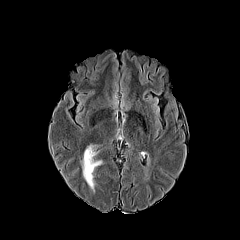
FLAIR magnetic resonance.
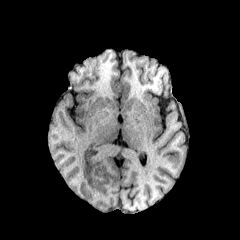
T1-weighted MR of the same slice.
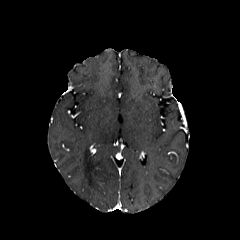
Post-contrast T1-weighted MRI of the same slice.
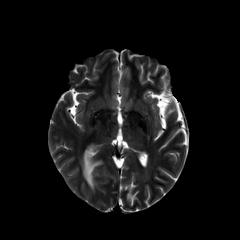
T2-weighted MR.
Axial plane, Head
peritumoral edema at (left=83, top=148, right=101, bottom=189)